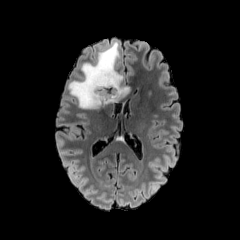
FLAIR MR.
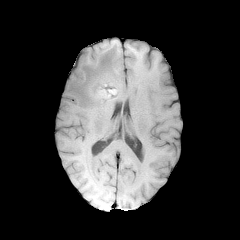
T1-weighted MRI.
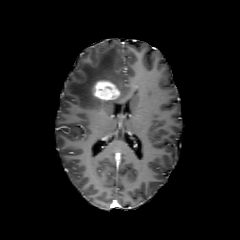
Post-contrast T1-weighted MR image.
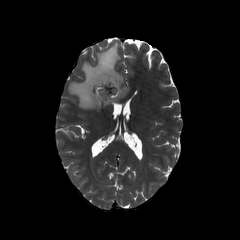
T2-weighted magnetic resonance.
Brain
Segmented structures:
* necrotic tumor core: 98, 86, 115, 96
* enhancing tumor: 93, 80, 120, 100
* peritumoral edema: 68, 42, 129, 109